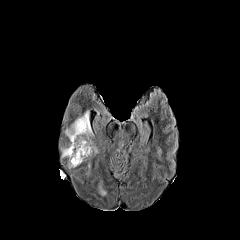
FLAIR MRI.
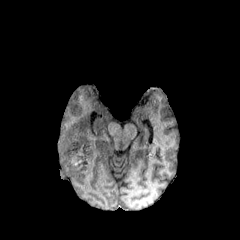
Same slice, T1-weighted MR.
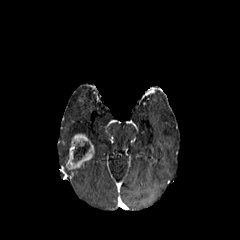
Post-contrast T1-weighted MR of the same slice.
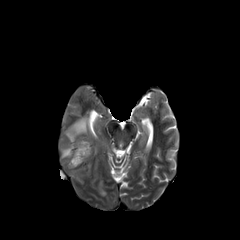
T2-weighted magnetic resonance of the same slice.
Axial view
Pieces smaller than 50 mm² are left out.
enhancing tumor: 66 133 94 169
peritumoral edema: 65 111 92 141, 61 145 70 158
necrotic tumor core: 73 142 89 162